Head, Axial view
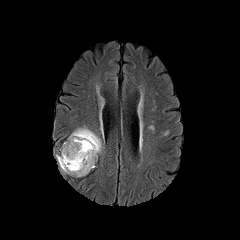
FLAIR MR image.
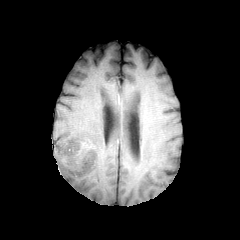
T1-weighted MR.
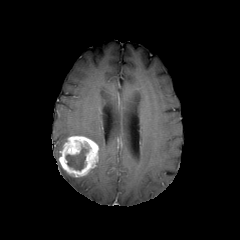
Post-contrast T1-weighted MR image.
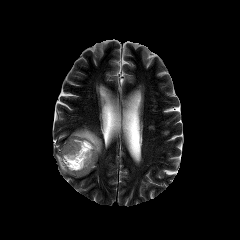
T2-weighted MR.
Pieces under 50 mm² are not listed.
enhancing tumor at 59 136 98 177
peritumoral edema at 55 154 67 173, 69 127 102 154
necrotic tumor core at 66 147 88 170